Head | 240x240
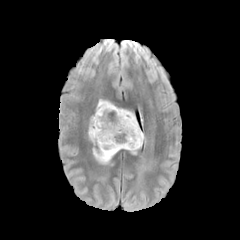
FLAIR MRI.
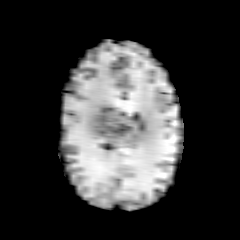
T1-weighted MR image.
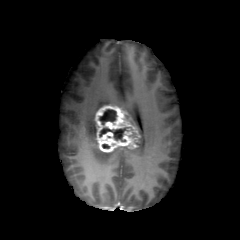
Post-contrast T1-weighted magnetic resonance.
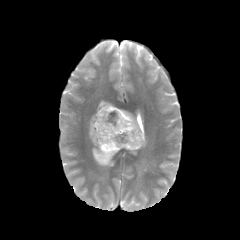
T2-weighted MRI.
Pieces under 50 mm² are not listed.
4 peritumoral edema regions are located at 93:128:145:165, 124:110:138:127, 88:115:97:144, 96:100:115:111. The enhancing tumor is bounded by 94:105:140:152. The 2 largest necrotic tumor core regions are located at 99:128:125:139, 99:109:115:124.